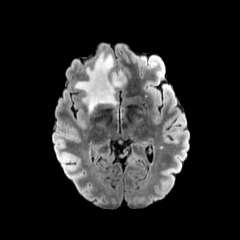
FLAIR MR image.
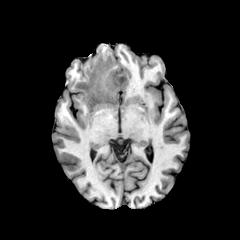
Same slice, T1-weighted magnetic resonance.
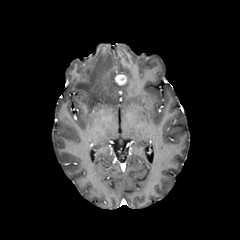
Post-contrast T1-weighted MR image.
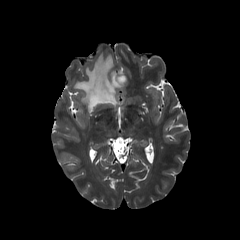
T2-weighted MR image of the same slice.
Axial view, Head
peritumoral edema — [74, 53, 123, 112]
enhancing tumor — [114, 74, 127, 85]